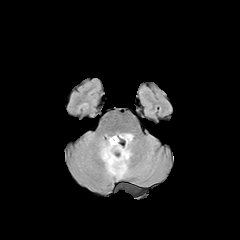
FLAIR MRI.
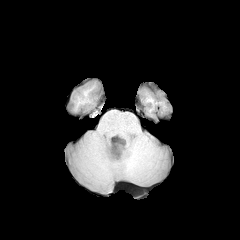
T1-weighted MR.
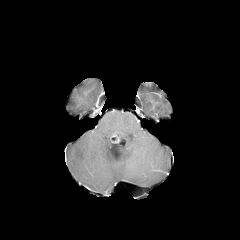
Post-contrast T1-weighted MR.
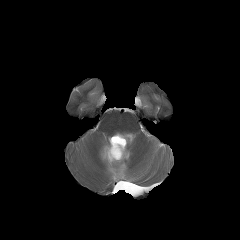
T2-weighted magnetic resonance.
Axial slice
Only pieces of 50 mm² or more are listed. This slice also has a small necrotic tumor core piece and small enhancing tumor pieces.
peritumoral edema: 99:133:132:179